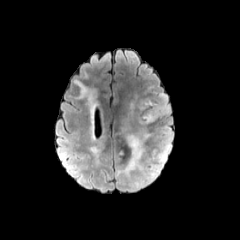
FLAIR MRI.
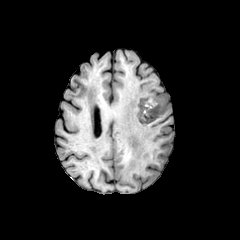
Same slice, T1-weighted MR.
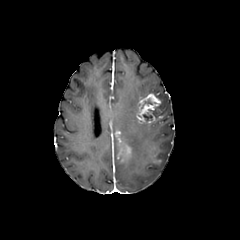
Post-contrast T1-weighted magnetic resonance of the same slice.
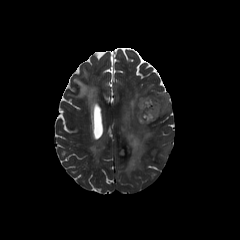
T2-weighted MR image of the same slice.
Brain
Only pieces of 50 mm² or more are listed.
enhancing tumor at box(136, 93, 160, 123)
peritumoral edema at box(117, 123, 152, 176); box(151, 143, 170, 161); box(154, 93, 170, 117)
necrotic tumor core at box(143, 114, 152, 121)